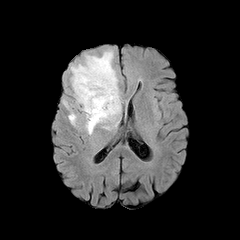
FLAIR magnetic resonance.
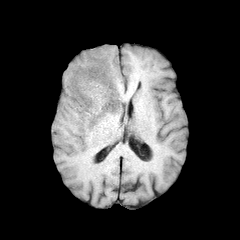
T1-weighted magnetic resonance.
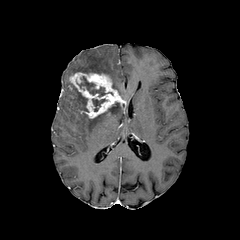
Post-contrast T1-weighted magnetic resonance of the same slice.
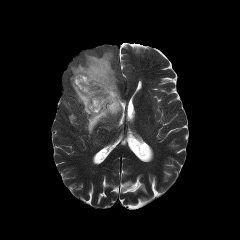
T2-weighted MRI.
240x240 px
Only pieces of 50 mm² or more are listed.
Segmented structures:
• necrotic tumor core: rect(78, 76, 105, 96); rect(92, 99, 106, 111)
• enhancing tumor: rect(69, 72, 125, 118)
• peritumoral edema: rect(71, 84, 88, 112); rect(71, 49, 118, 92); rect(85, 102, 121, 134); rect(68, 110, 77, 125)